Head.
FLAIR MR.
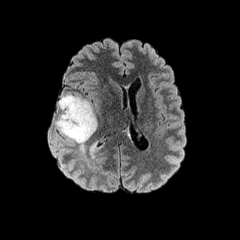
T1-weighted magnetic resonance.
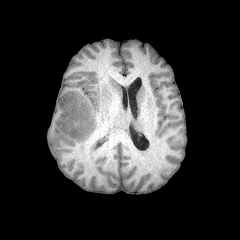
Post-contrast T1-weighted MR.
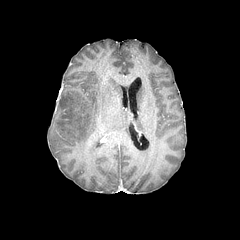
T2-weighted MR image.
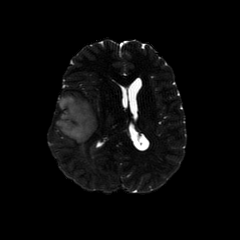
enhancing_tumor:
  - box(67, 126, 78, 135)
peritumoral_edema:
  - box(57, 94, 97, 150)